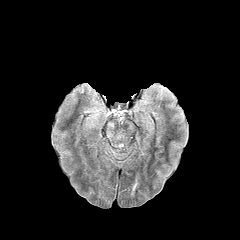
FLAIR MRI.
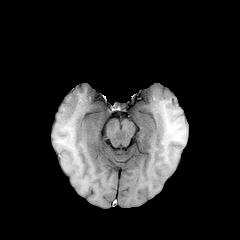
T1-weighted MRI of the same slice.
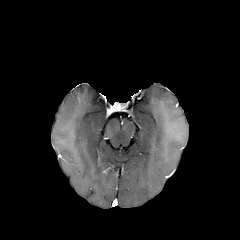
Post-contrast T1-weighted MR image.
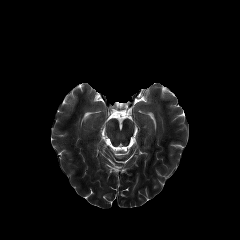
T2-weighted MRI of the same slice.
<segmentation>
  <peritumoral_edema>[91,110,99,124]</peritumoral_edema>
</segmentation>